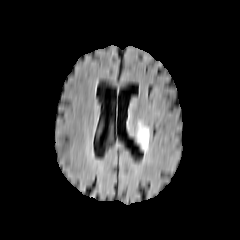
FLAIR MR.
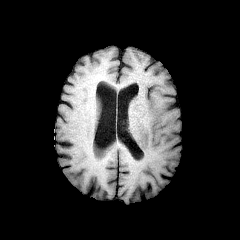
T1-weighted MR image of the same slice.
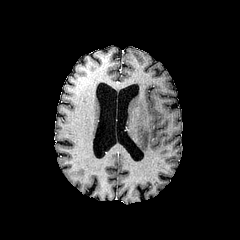
Post-contrast T1-weighted MR of the same slice.
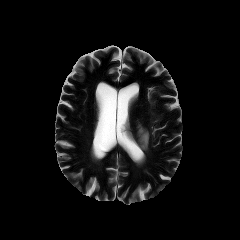
T2-weighted MRI.
240x240 px
The peritumoral edema is at box(136, 120, 149, 151).